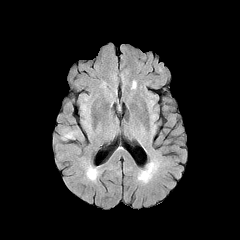
FLAIR MR image.
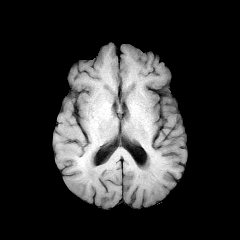
T1-weighted MRI.
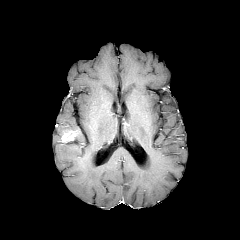
Post-contrast T1-weighted magnetic resonance of the same slice.
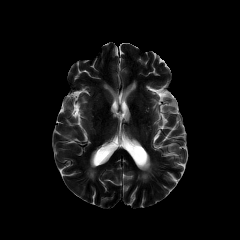
T2-weighted MR.
Head
Annotated regions:
• enhancing tumor: x1=61, y1=131, x2=76, y2=141